FLAIR magnetic resonance.
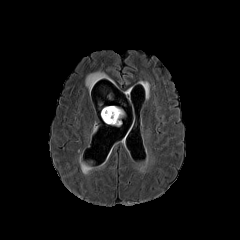
T1-weighted MR.
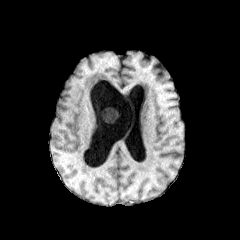
Post-contrast T1-weighted MR image.
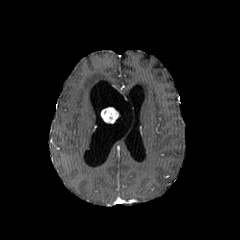
T2-weighted MR.
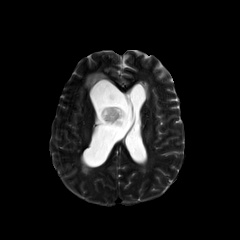
240x240; Axial plane; Brain
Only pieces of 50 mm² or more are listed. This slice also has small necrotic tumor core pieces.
<segmentation>
  <enhancing_tumor>left=101, top=107, right=119, bottom=123</enhancing_tumor>
  <peritumoral_edema>left=85, top=71, right=113, bottom=92</peritumoral_edema>
</segmentation>